Image width 240 mm | Axial slice | Head | 240x240
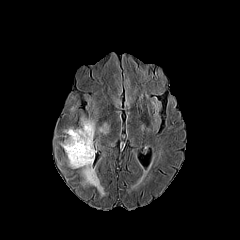
FLAIR magnetic resonance.
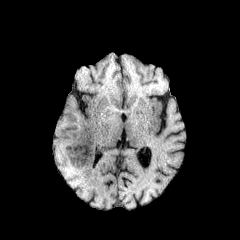
T1-weighted MR.
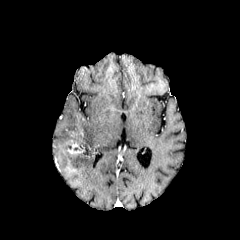
Post-contrast T1-weighted MR image.
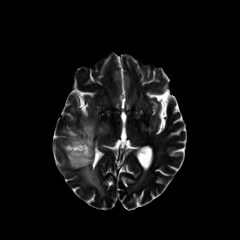
T2-weighted MR.
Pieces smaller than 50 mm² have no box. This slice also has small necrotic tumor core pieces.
{"peritumoral_edema": [{"x1": 99, "y1": 123, "x2": 106, "y2": 133}, {"x1": 61, "y1": 119, "x2": 104, "y2": 196}], "enhancing_tumor": [{"x1": 67, "y1": 140, "x2": 90, "y2": 158}]}